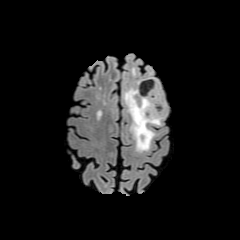
FLAIR MRI.
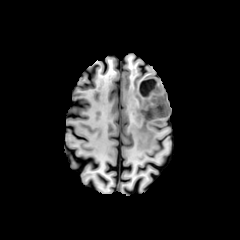
T1-weighted MRI.
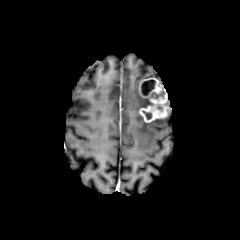
Post-contrast T1-weighted MR image.
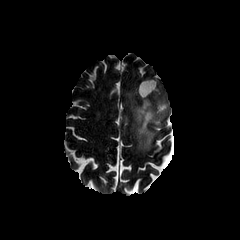
T2-weighted MR image.
Brain.
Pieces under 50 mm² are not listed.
<segmentation>
  <enhancing_tumor>bbox(139, 78, 169, 122)</enhancing_tumor>
  <peritumoral_edema>bbox(124, 87, 163, 151)</peritumoral_edema>
  <necrotic_tumor_core>bbox(142, 80, 154, 95)</necrotic_tumor_core>
</segmentation>